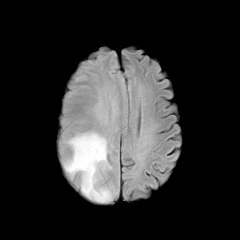
FLAIR MR image.
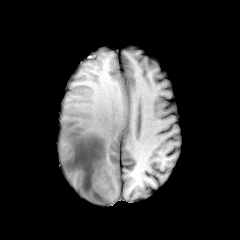
T1-weighted MR of the same slice.
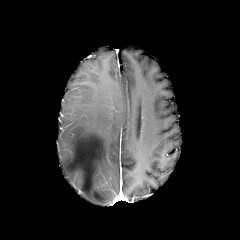
Post-contrast T1-weighted MR image.
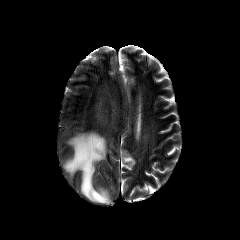
T2-weighted magnetic resonance of the same slice.
240x240 px; Brain
The peritumoral edema is located at [64,131,111,202].